Head, Slice index 81
FLAIR magnetic resonance.
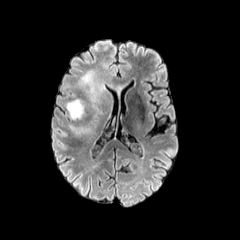
T1-weighted MR.
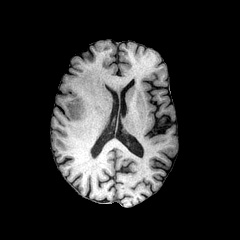
Post-contrast T1-weighted MRI.
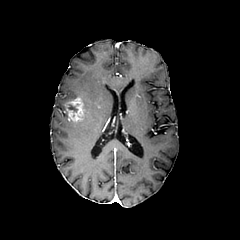
T2-weighted MRI.
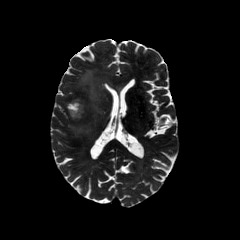
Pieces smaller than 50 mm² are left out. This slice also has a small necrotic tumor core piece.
2 peritumoral edema regions appear at [107,82,125,92], [70,58,106,135]. The enhancing tumor appears at [65,97,85,122].